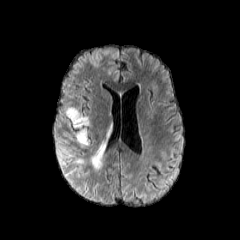
FLAIR MR image.
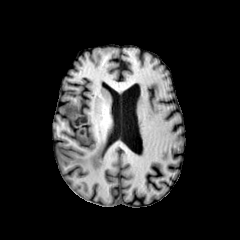
T1-weighted MRI.
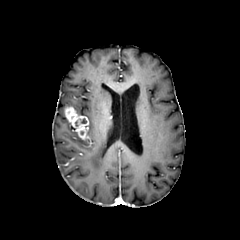
Post-contrast T1-weighted MRI of the same slice.
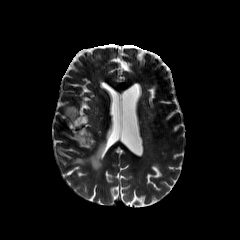
T2-weighted MR image.
Axial slice. Head.
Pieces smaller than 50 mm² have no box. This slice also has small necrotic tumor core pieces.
<segmentation>
  <peritumoral_edema>x1=76 y1=133 x2=88 y2=144, x1=90 y1=142 x2=105 y2=169</peritumoral_edema>
  <enhancing_tumor>x1=64 y1=107 x2=88 y2=139</enhancing_tumor>
</segmentation>